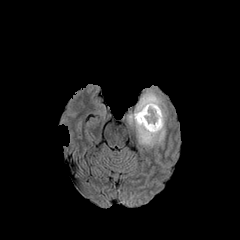
FLAIR magnetic resonance.
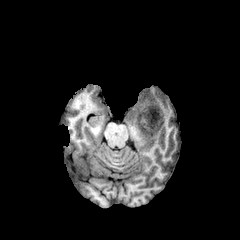
T1-weighted MR image.
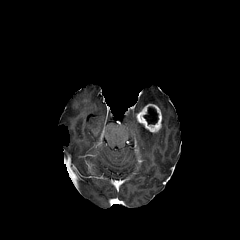
Same slice, post-contrast T1-weighted MR.
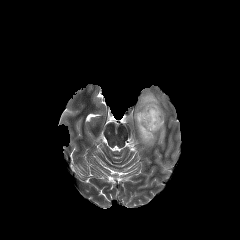
T2-weighted magnetic resonance.
The peritumoral edema is located at bbox=[127, 90, 166, 145]. The necrotic tumor core appears at bbox=[143, 106, 158, 125]. The enhancing tumor is bounded by bbox=[136, 104, 161, 132].